FLAIR MR image.
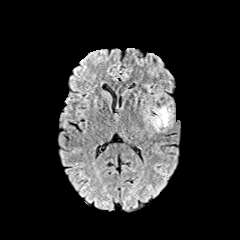
T1-weighted MR.
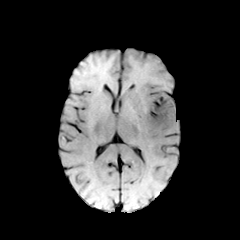
Post-contrast T1-weighted MRI.
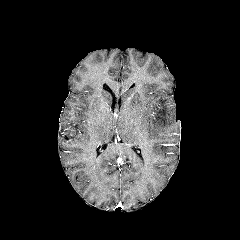
T2-weighted MR image.
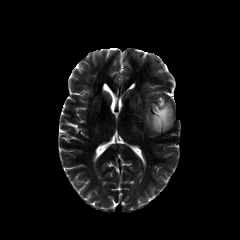
240x240
<segmentation>
  <peritumoral_edema>x1=145, y1=104, x2=173, y2=131</peritumoral_edema>
</segmentation>